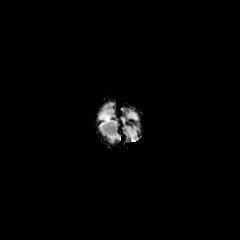
FLAIR MRI.
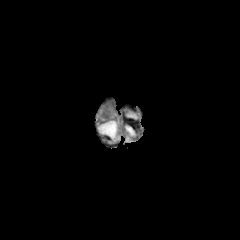
T1-weighted magnetic resonance.
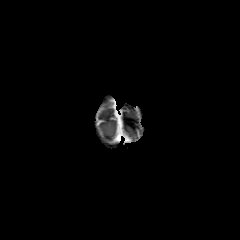
Post-contrast T1-weighted MRI.
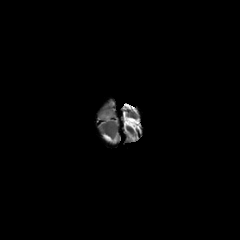
T2-weighted MR image of the same slice.
240x240 px, Axial slice
Segmented structures:
• peritumoral edema: 99,109,111,121